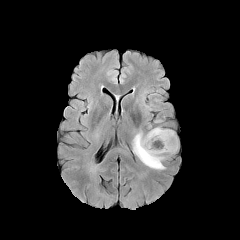
FLAIR MRI.
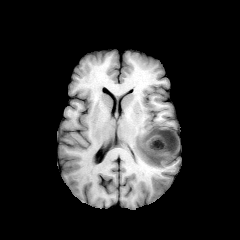
T1-weighted MR.
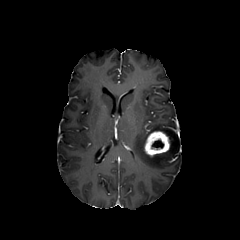
Post-contrast T1-weighted MRI.
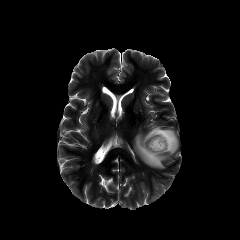
T2-weighted MR of the same slice.
Brain | Axial slice | Image size 240x240
Findings:
• peritumoral edema: bbox(133, 127, 178, 169)
• necrotic tumor core: bbox(152, 140, 163, 148)
• enhancing tumor: bbox(144, 131, 170, 156)